Slice 89 of 155 | Axial view | Brain | 240x240
FLAIR MR image.
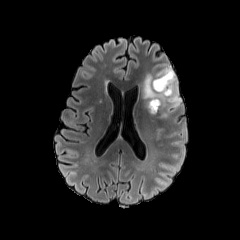
T1-weighted MR image.
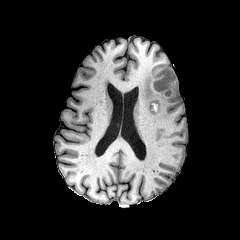
Post-contrast T1-weighted MRI.
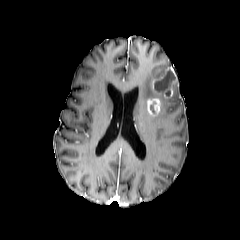
T2-weighted MR.
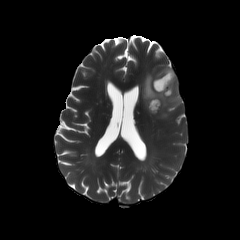
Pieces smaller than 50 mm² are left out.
The peritumoral edema is at {"x1": 140, "y1": 64, "x2": 181, "y2": 116}. The largest necrotic tumor core region is at {"x1": 155, "y1": 70, "x2": 174, "y2": 91}. 2 enhancing tumor regions are located at {"x1": 152, "y1": 67, "x2": 176, "y2": 97}, {"x1": 147, "y1": 98, "x2": 160, "y2": 115}.